FLAIR MR.
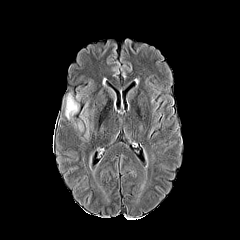
T1-weighted MR image.
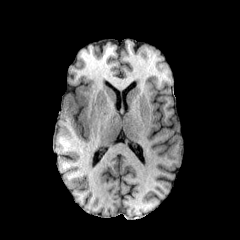
Post-contrast T1-weighted MR image.
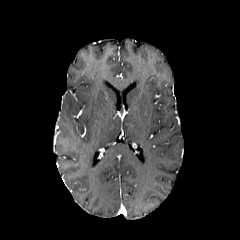
T2-weighted MR.
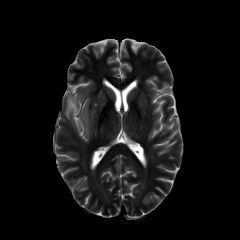
Brain
2 peritumoral edema regions are bounded by [76, 102, 93, 141], [65, 93, 80, 130].